240x240. Slice index 69.
FLAIR magnetic resonance.
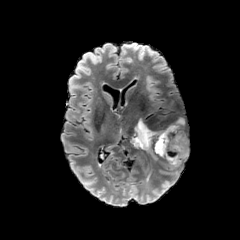
T1-weighted MR.
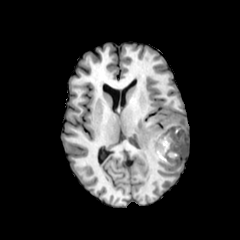
Post-contrast T1-weighted MR image.
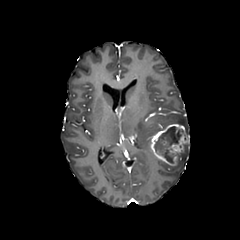
T2-weighted MR image.
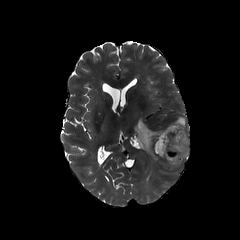
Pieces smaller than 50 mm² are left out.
* necrotic tumor core: {"x1": 154, "y1": 126, "x2": 183, "y2": 163}
* enhancing tumor: {"x1": 150, "y1": 123, "x2": 189, "y2": 166}
* peritumoral edema: {"x1": 129, "y1": 119, "x2": 157, "y2": 154}, {"x1": 172, "y1": 148, "x2": 189, "y2": 167}, {"x1": 170, "y1": 117, "x2": 186, "y2": 132}